FLAIR MRI.
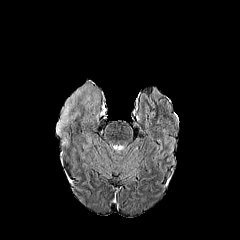
T1-weighted magnetic resonance.
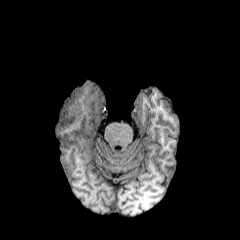
Post-contrast T1-weighted magnetic resonance.
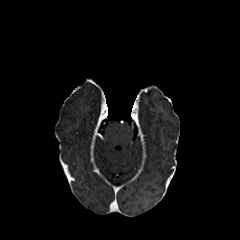
T2-weighted MR.
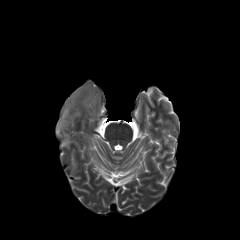
Head; Axial plane
<segmentation>
  <peritumoral_edema>56,86,99,147</peritumoral_edema>
</segmentation>